FLAIR MR.
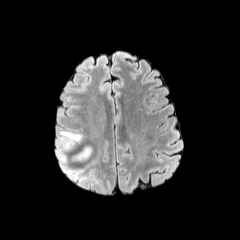
T1-weighted MR.
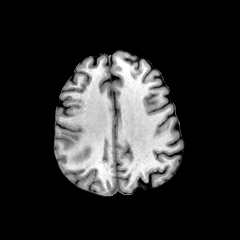
Post-contrast T1-weighted MRI.
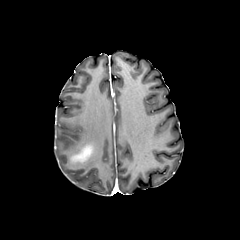
T2-weighted MRI.
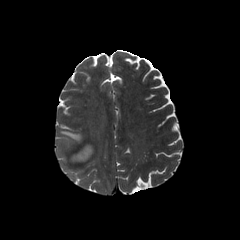
Image size 240x240; Axial view
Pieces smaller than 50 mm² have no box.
peritumoral edema at 57, 131, 82, 177
enhancing tumor at 70, 145, 92, 163